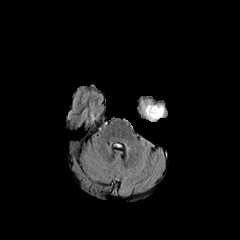
FLAIR magnetic resonance.
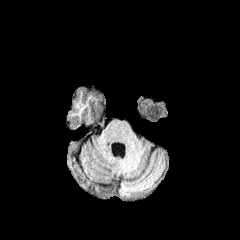
T1-weighted magnetic resonance.
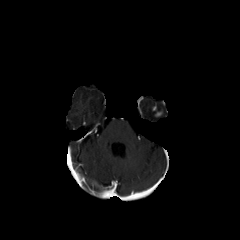
Post-contrast T1-weighted magnetic resonance.
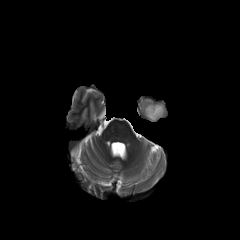
Same slice, T2-weighted MR.
Brain.
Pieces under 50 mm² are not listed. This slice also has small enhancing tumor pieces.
{"peritumoral_edema": ["box(142, 102, 164, 120)"]}